Head. 240x240 px.
FLAIR MR image.
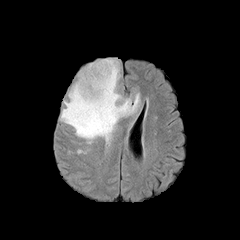
T1-weighted magnetic resonance.
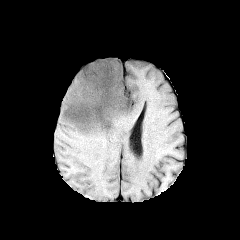
Post-contrast T1-weighted MR image.
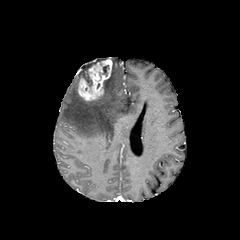
T2-weighted MRI.
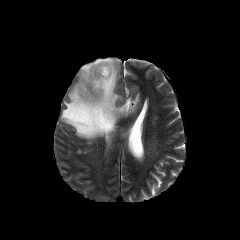
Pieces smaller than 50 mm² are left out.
- necrotic tumor core: (83,70,92,86)
- peritumoral edema: (60,58,140,146)
- enhancing tumor: (78,58,112,100)